FLAIR magnetic resonance.
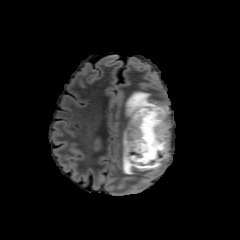
T1-weighted magnetic resonance.
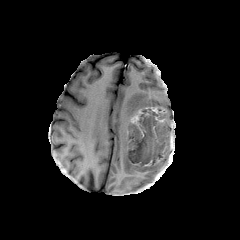
Post-contrast T1-weighted MR.
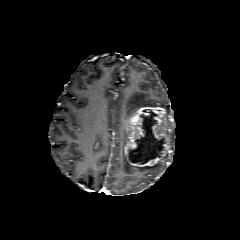
T2-weighted MRI.
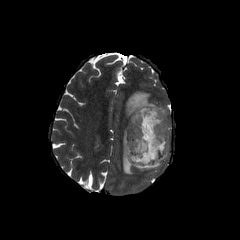
Image size 240x240 | Head | Axial view
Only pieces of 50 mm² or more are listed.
{"enhancing_tumor": ["region(124, 107, 170, 167)"], "necrotic_tumor_core": ["region(128, 110, 163, 164)"], "peritumoral_edema": ["region(122, 129, 162, 176)", "region(125, 91, 168, 118)"]}